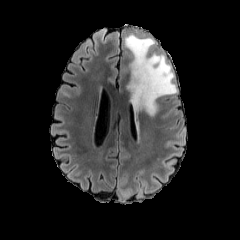
FLAIR MRI.
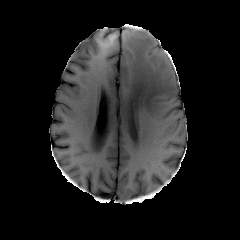
T1-weighted MRI.
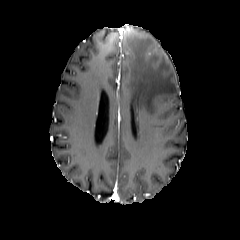
Post-contrast T1-weighted MRI.
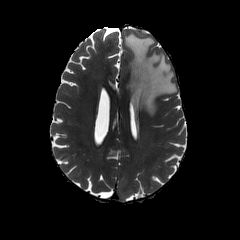
T2-weighted MRI.
Axial slice; 240x240 px
<segmentation>
  <peritumoral_edema>x1=123, y1=29, x2=177, y2=115</peritumoral_edema>
</segmentation>